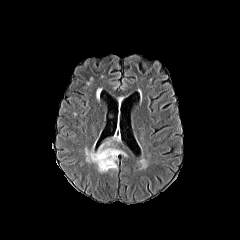
FLAIR MR.
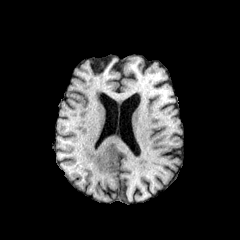
T1-weighted MRI of the same slice.
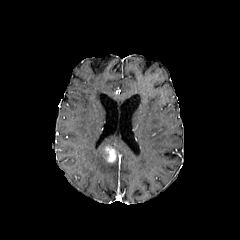
Post-contrast T1-weighted magnetic resonance.
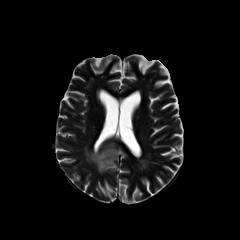
Same slice, T2-weighted MRI.
Head
{"peritumoral_edema": ["bbox(116, 149, 127, 160)", "bbox(85, 140, 117, 173)"], "enhancing_tumor": ["bbox(104, 145, 116, 162)"]}